240x240 px
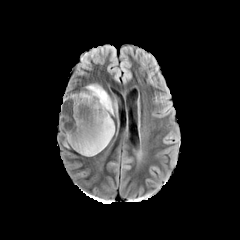
FLAIR MR.
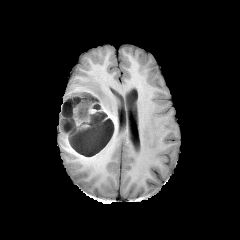
Same slice, T1-weighted MRI.
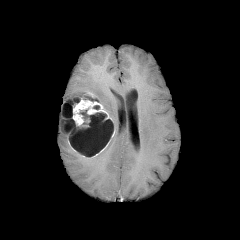
Same slice, post-contrast T1-weighted magnetic resonance.
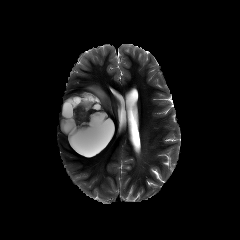
T2-weighted MR.
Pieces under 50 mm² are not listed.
peritumoral_edema:
  - [x1=86, y1=84, x2=115, y2=114]
necrotic_tumor_core:
  - [x1=62, y1=104, x2=72, y2=117]
  - [x1=68, y1=112, x2=113, y2=155]
  - [x1=61, y1=119, x2=77, y2=132]
  - [x1=83, y1=94, x2=98, y2=102]
enhancing_tumor:
  - [x1=59, y1=92, x2=114, y2=156]